Axial view; Image covers 240 mm x 240 mm; Head; Slice 118/155
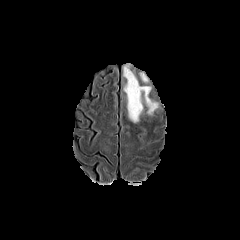
FLAIR MR.
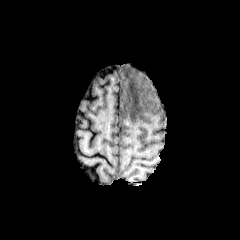
T1-weighted MR.
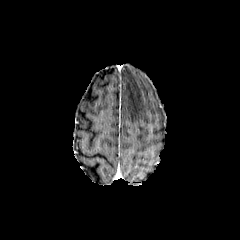
Post-contrast T1-weighted magnetic resonance of the same slice.
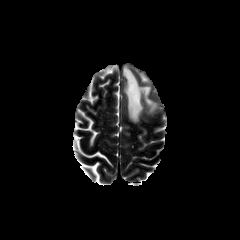
Same slice, T2-weighted MR.
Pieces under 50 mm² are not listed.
The largest peritumoral edema region appears at x1=123, y1=66, x2=157, y2=122.